Axial view
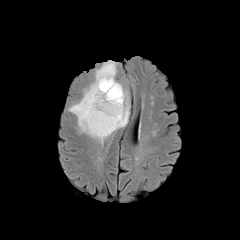
FLAIR MRI.
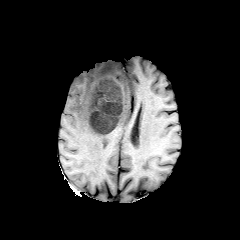
T1-weighted magnetic resonance.
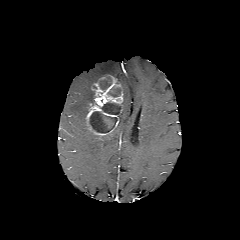
Post-contrast T1-weighted magnetic resonance.
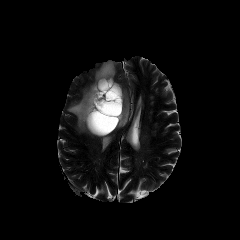
T2-weighted MRI.
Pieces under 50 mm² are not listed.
The largest peritumoral edema region lies within (x1=68, y1=60, x2=129, y2=144). 4 necrotic tumor core regions are bounded by (x1=99, y1=77, x2=111, y2=90), (x1=101, y1=102, x2=121, y2=114), (x1=89, y1=111, x2=117, y2=132), (x1=108, y1=87, x2=121, y2=97). The enhancing tumor lies within (x1=85, y1=75, x2=123, y2=136).